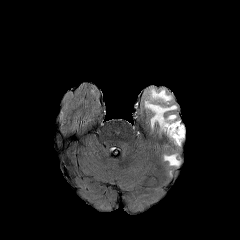
FLAIR MR image.
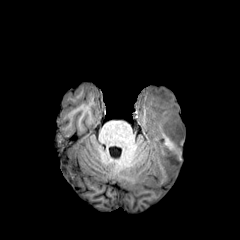
Same slice, T1-weighted MR image.
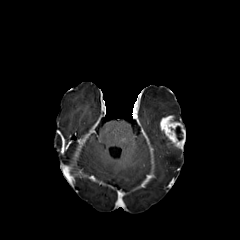
Post-contrast T1-weighted MR.
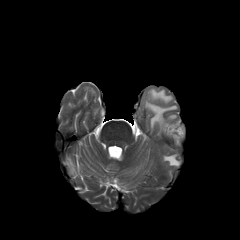
T2-weighted magnetic resonance.
Brain
{
  "peritumoral_edema": [
    "box=[145, 101, 176, 126]",
    "box=[164, 155, 179, 165]",
    "box=[151, 89, 171, 102]"
  ],
  "enhancing_tumor": [
    "box=[160, 115, 185, 148]"
  ],
  "necrotic_tumor_core": [
    "box=[175, 126, 182, 140]"
  ]
}